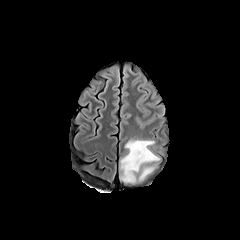
FLAIR MRI.
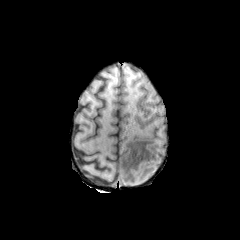
Same slice, T1-weighted MRI.
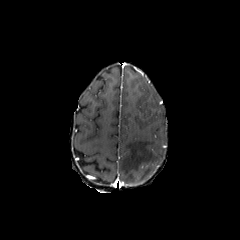
Same slice, post-contrast T1-weighted MRI.
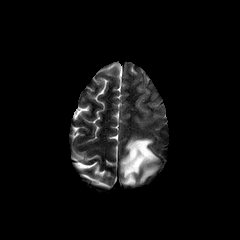
T2-weighted MRI.
Head. Axial plane.
- peritumoral edema: rect(120, 139, 159, 183)